Slice index 57; Head
FLAIR MR.
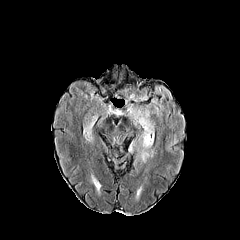
T1-weighted magnetic resonance.
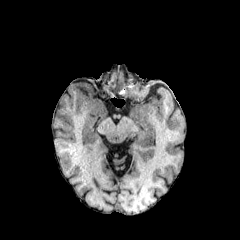
Post-contrast T1-weighted MR image.
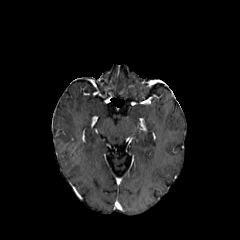
T2-weighted MR image.
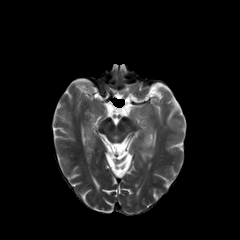
<segmentation>
  <peritumoral_edema>133, 117, 154, 147; 82, 115, 98, 141; 141, 150, 148, 162</peritumoral_edema>
</segmentation>